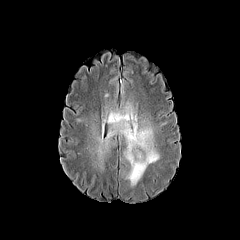
FLAIR MRI.
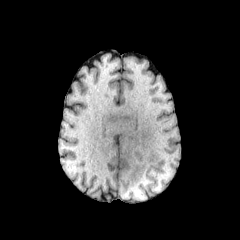
T1-weighted magnetic resonance of the same slice.
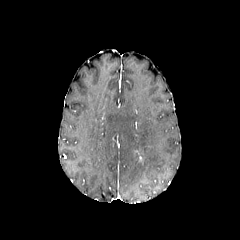
Post-contrast T1-weighted MR image.
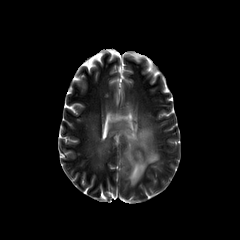
T2-weighted MR.
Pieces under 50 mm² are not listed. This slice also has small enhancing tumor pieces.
The peritumoral edema lies within bbox=[83, 91, 161, 188].